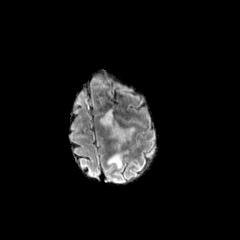
FLAIR MR image.
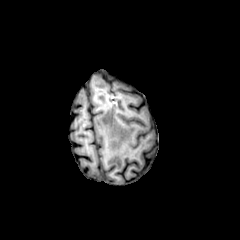
T1-weighted MR image.
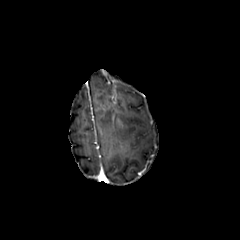
Post-contrast T1-weighted magnetic resonance.
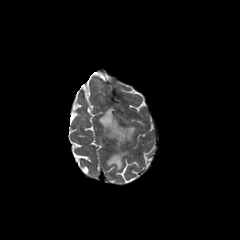
T2-weighted MR image of the same slice.
Head | Axial view
2 peritumoral edema regions appear at 108:152:122:168, 100:109:135:150.